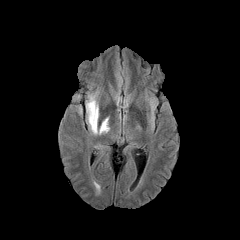
FLAIR MRI.
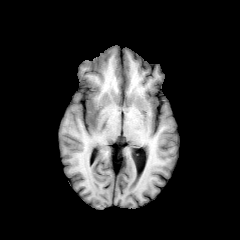
T1-weighted MRI of the same slice.
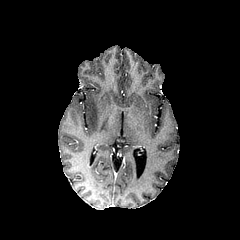
Same slice, post-contrast T1-weighted MRI.
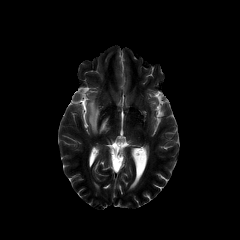
T2-weighted MR image.
Head
peritumoral edema: <box>99,118,109,133</box>, <box>87,97,98,133</box>